Image width 240 mm. Axial plane.
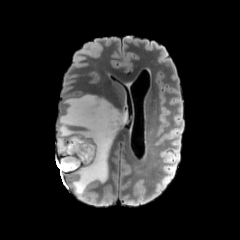
FLAIR MRI.
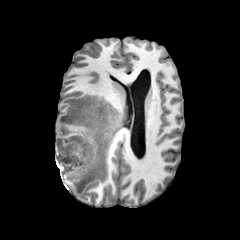
Same slice, T1-weighted MRI.
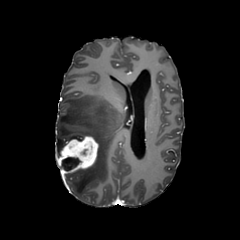
Post-contrast T1-weighted magnetic resonance.
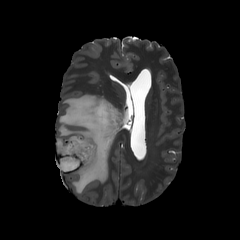
T2-weighted magnetic resonance.
<segmentation>
  <peritumoral_edema>left=56, top=94, right=126, bottom=198</peritumoral_edema>
  <enhancing_tumor>left=57, top=135, right=99, bottom=173</enhancing_tumor>
  <necrotic_tumor_core>left=61, top=157, right=80, bottom=171</necrotic_tumor_core>
</segmentation>